Slice 73 of 155, Brain
FLAIR MR image.
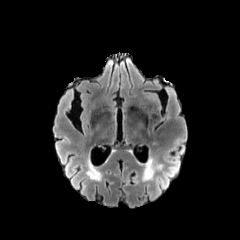
T1-weighted magnetic resonance.
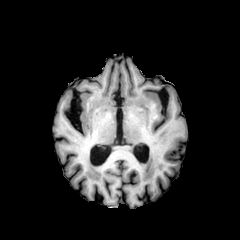
Post-contrast T1-weighted MRI.
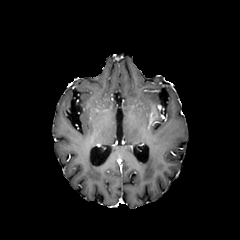
T2-weighted MR.
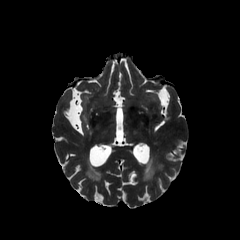
The peritumoral edema appears at {"x1": 141, "y1": 160, "x2": 164, "y2": 181}.